FLAIR MRI.
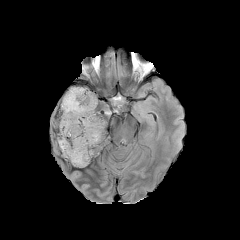
T1-weighted MR.
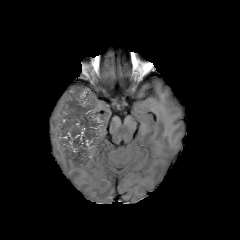
Post-contrast T1-weighted MR image.
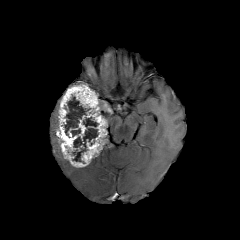
T2-weighted MR.
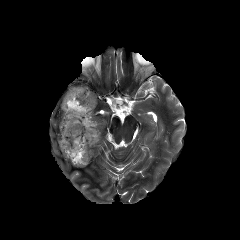
240x240
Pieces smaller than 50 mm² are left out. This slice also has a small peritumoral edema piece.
enhancing tumor: bounding box box(57, 85, 107, 167); box(103, 101, 112, 113)
necrotic tumor core: bounding box box(64, 96, 90, 136); box(71, 129, 80, 136); box(72, 117, 98, 161)